FLAIR magnetic resonance.
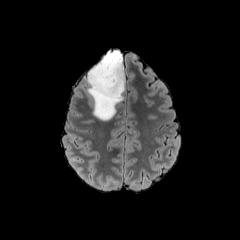
T1-weighted MR.
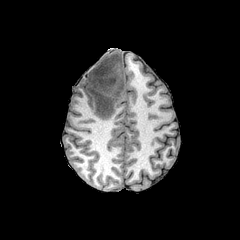
Post-contrast T1-weighted magnetic resonance.
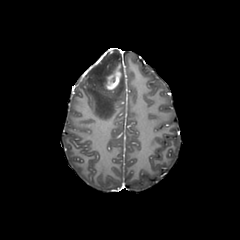
T2-weighted MR.
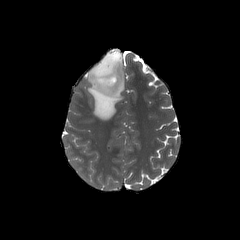
Head. 240x240 px. Axial plane.
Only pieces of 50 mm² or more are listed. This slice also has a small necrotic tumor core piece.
<segmentation>
  <enhancing_tumor>box(105, 64, 121, 90)</enhancing_tumor>
  <peritumoral_edema>box(87, 50, 125, 120)</peritumoral_edema>
</segmentation>